FLAIR MRI.
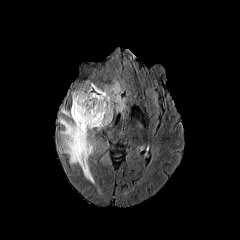
T1-weighted MR.
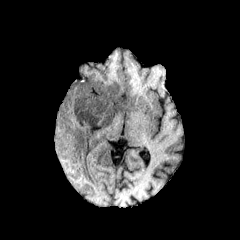
Post-contrast T1-weighted MR image.
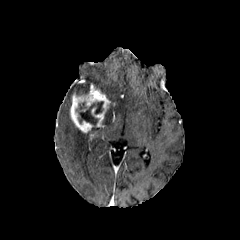
T2-weighted MR.
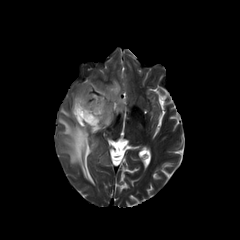
Head, Axial slice
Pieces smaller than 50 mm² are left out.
peritumoral edema = 92, 80, 126, 126; 72, 81, 91, 94; 58, 107, 96, 184
necrotic tumor core = 76, 101, 103, 125
enhancing tumor = 70, 89, 110, 133